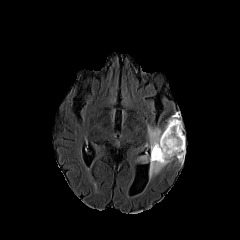
FLAIR magnetic resonance.
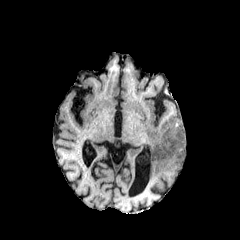
T1-weighted MRI.
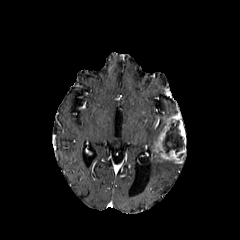
Same slice, post-contrast T1-weighted MR.
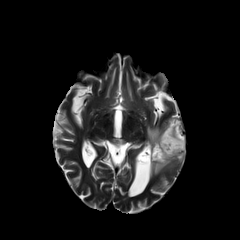
T2-weighted MR.
Axial view, 240x240, Head
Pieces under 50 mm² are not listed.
The largest necrotic tumor core region lies within (x1=162, y1=120, x2=184, y2=153). The largest peritumoral edema region is located at (x1=146, y1=124, x2=172, y2=178). The largest enhancing tumor region lies within (x1=153, y1=112, x2=185, y2=163).